Slice 56 of 155. Head. Image size 240x240.
FLAIR MR.
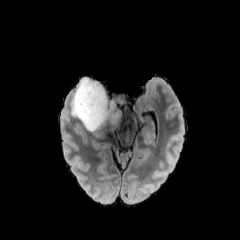
T1-weighted MRI.
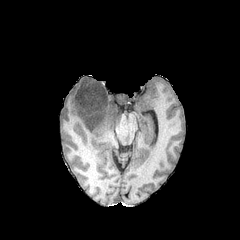
Post-contrast T1-weighted MR.
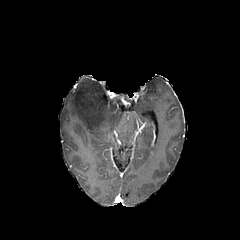
T2-weighted MR image.
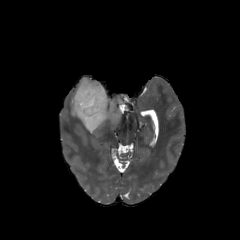
peritumoral edema — (x1=72, y1=76, x2=124, y2=134)